FLAIR MR.
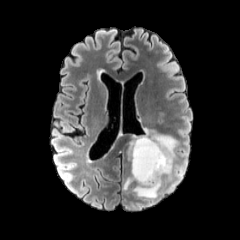
T1-weighted magnetic resonance.
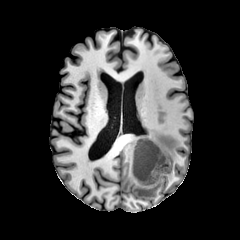
Post-contrast T1-weighted MR image.
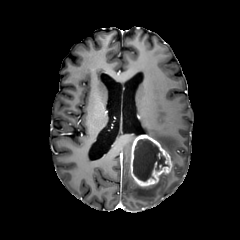
T2-weighted MRI.
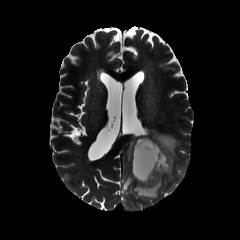
Head, Axial slice, 240x240
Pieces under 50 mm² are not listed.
{"peritumoral_edema": ["[127, 135, 137, 160]", "[142, 128, 179, 162]", "[123, 175, 133, 190]", "[133, 170, 171, 199]"], "necrotic_tumor_core": ["[133, 139, 168, 181]"], "enhancing_tumor": ["[130, 135, 172, 187]"]}